Head | 240x240
FLAIR MR.
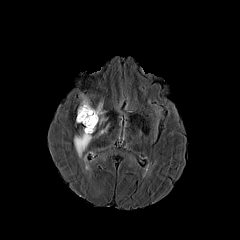
T1-weighted MR.
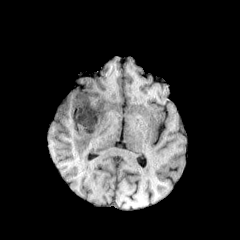
Post-contrast T1-weighted MRI.
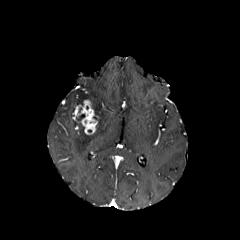
T2-weighted MR.
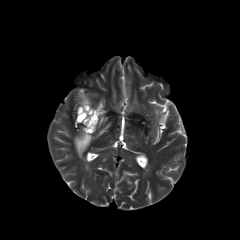
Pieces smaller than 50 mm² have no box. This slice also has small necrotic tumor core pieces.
The 3 largest peritumoral edema regions are located at x1=74 y1=127 x2=92 y2=157, x1=94 y1=102 x2=106 y2=124, x1=98 y1=125 x2=108 y2=135. The largest enhancing tumor region is at x1=76 y1=99 x2=97 y2=134.